FLAIR MR.
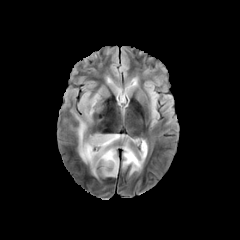
T1-weighted MR image.
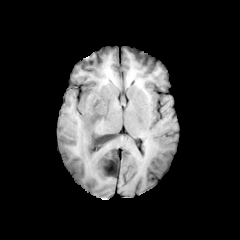
Post-contrast T1-weighted magnetic resonance.
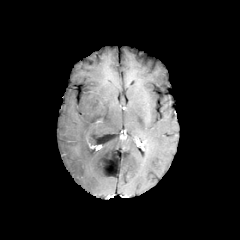
T2-weighted magnetic resonance.
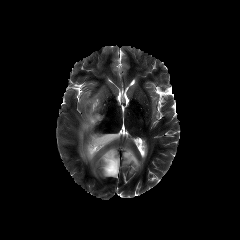
Brain
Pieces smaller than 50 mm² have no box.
<segmentation>
  <peritumoral_edema>bbox=[78, 92, 123, 176]; bbox=[122, 140, 147, 173]</peritumoral_edema>
  <necrotic_tumor_core>bbox=[104, 152, 118, 175]; bbox=[87, 134, 112, 144]</necrotic_tumor_core>
</segmentation>